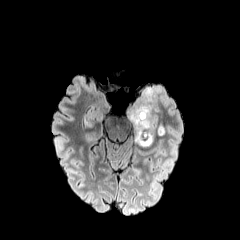
FLAIR magnetic resonance.
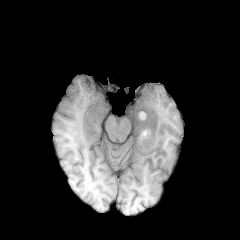
T1-weighted MR.
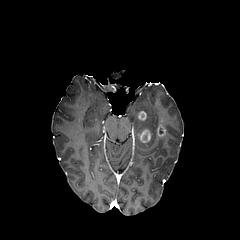
Post-contrast T1-weighted MR of the same slice.
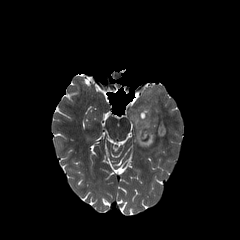
Same slice, T2-weighted magnetic resonance.
240x240, Axial plane
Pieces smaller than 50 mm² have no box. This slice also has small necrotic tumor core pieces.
enhancing_tumor:
  - left=157, top=126, right=165, bottom=136
  - left=137, top=130, right=151, bottom=143
  - left=139, top=111, right=146, bottom=120
peritumoral_edema:
  - left=128, top=107, right=155, bottom=146